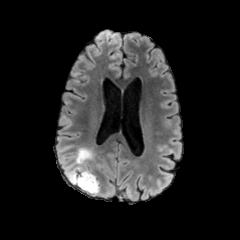
FLAIR MR image.
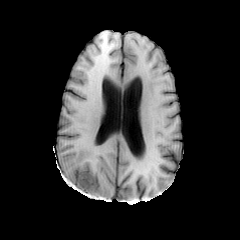
T1-weighted magnetic resonance.
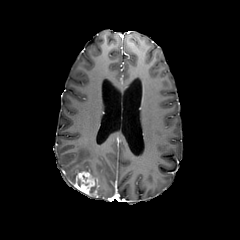
Post-contrast T1-weighted MRI.
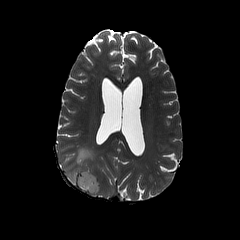
T2-weighted MR.
Brain; 240x240 px
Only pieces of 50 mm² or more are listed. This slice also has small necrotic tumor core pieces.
peritumoral edema — (x1=64, y1=147, x2=93, y2=184)
enhancing tumor — (x1=75, y1=171, x2=99, y2=196)